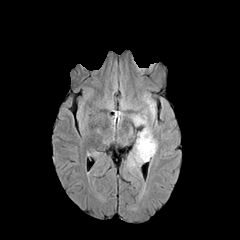
FLAIR magnetic resonance.
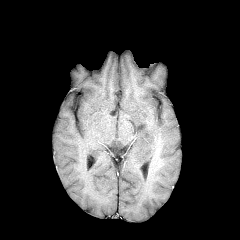
T1-weighted MR.
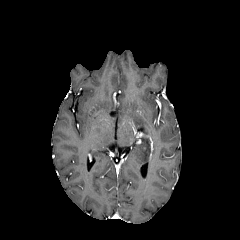
Post-contrast T1-weighted MR.
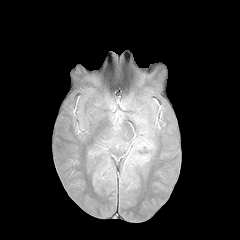
Same slice, T2-weighted MR.
Brain. 240x240.
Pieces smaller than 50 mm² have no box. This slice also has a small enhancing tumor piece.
- peritumoral edema: bbox(129, 115, 157, 166); bbox(147, 100, 155, 117)